Image covers 240 mm x 240 mm, Slice index 45, 240x240
FLAIR magnetic resonance.
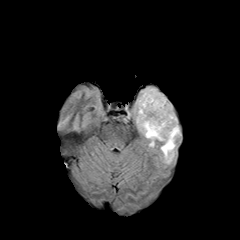
T1-weighted MR.
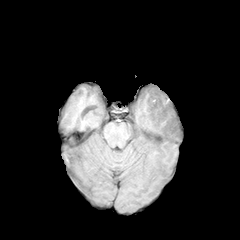
Post-contrast T1-weighted MRI.
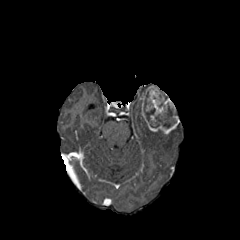
T2-weighted MR.
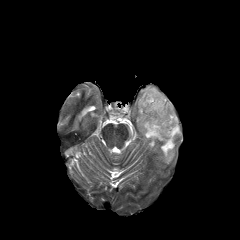
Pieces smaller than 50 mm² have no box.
The largest peritumoral edema region is at bbox(134, 97, 180, 163). The 2 largest necrotic tumor core regions appear at bbox(150, 106, 176, 128); bbox(144, 99, 155, 121). The enhancing tumor is located at bbox(139, 85, 179, 134).